FLAIR MR image.
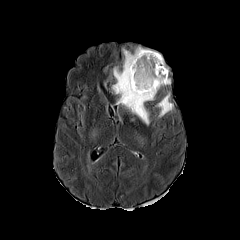
T1-weighted MRI.
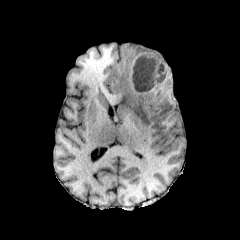
Post-contrast T1-weighted MRI.
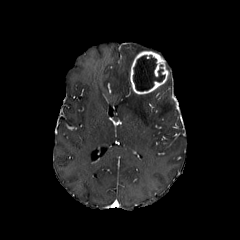
T2-weighted magnetic resonance.
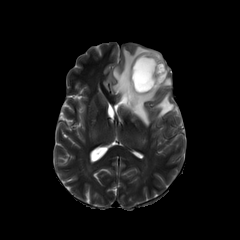
Image size 240x240 | Axial view
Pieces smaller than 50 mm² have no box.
peritumoral edema — 157, 92, 173, 117; 112, 46, 171, 125
enhancing tumor — 130, 51, 168, 94
necrotic tumor core — 133, 55, 165, 91